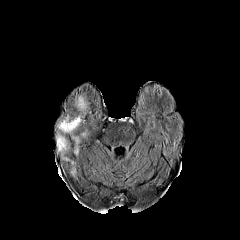
FLAIR magnetic resonance.
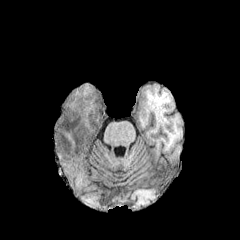
Same slice, T1-weighted MRI.
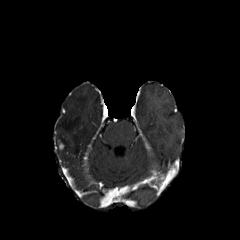
Post-contrast T1-weighted MR.
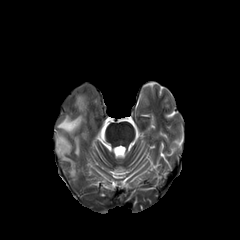
T2-weighted MR.
Axial view; Brain
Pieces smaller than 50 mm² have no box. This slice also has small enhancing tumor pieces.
<segmentation>
  <peritumoral_edema>57 136 68 154, 75 96 86 110, 58 116 81 132</peritumoral_edema>
</segmentation>